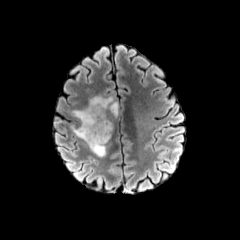
FLAIR magnetic resonance.
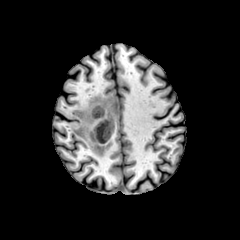
T1-weighted MR.
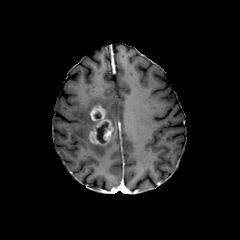
Same slice, post-contrast T1-weighted MRI.
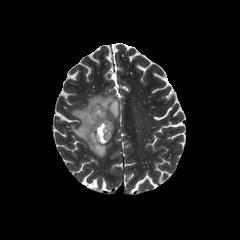
T2-weighted magnetic resonance.
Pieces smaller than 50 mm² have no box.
Findings:
• enhancing tumor: <bbox>88, 105, 113, 145</bbox>
• necrotic tumor core: <bbox>96, 122, 108, 142</bbox>
• peritumoral edema: <bbox>71, 95, 118, 157</bbox>